Brain, Slice 63/155
FLAIR MR.
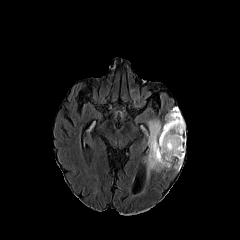
T1-weighted MR.
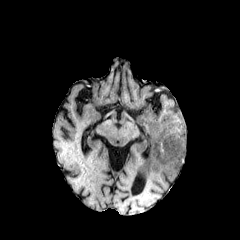
Post-contrast T1-weighted MR image.
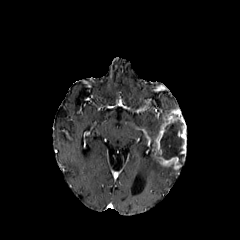
T2-weighted magnetic resonance.
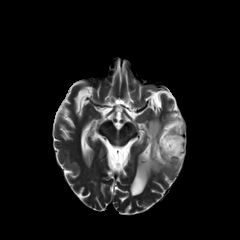
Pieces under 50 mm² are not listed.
peritumoral edema at x1=145, y1=119, x2=172, y2=177
enhancing tumor at x1=152, y1=107, x2=186, y2=169
necrotic tumor core at x1=160, y1=120, x2=183, y2=164